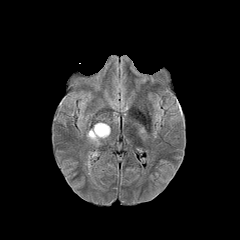
FLAIR MR.
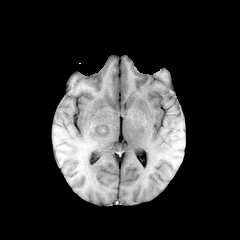
T1-weighted MRI.
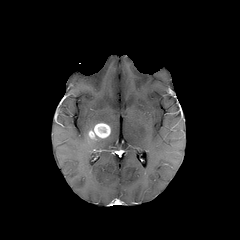
Post-contrast T1-weighted MR.
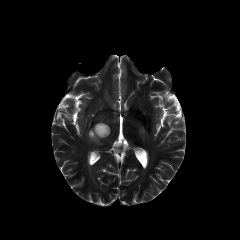
T2-weighted magnetic resonance.
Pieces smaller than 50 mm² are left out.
enhancing tumor: x1=88, y1=123, x2=110, y2=139
peritumoral edema: x1=87, y1=133, x2=101, y2=144